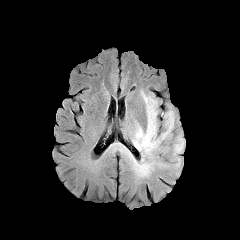
FLAIR MRI.
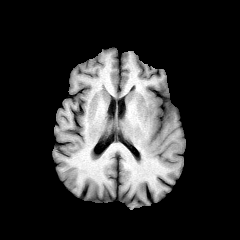
Same slice, T1-weighted MRI.
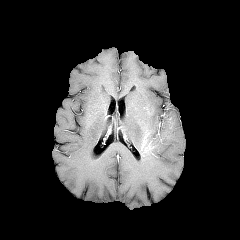
Post-contrast T1-weighted MR.
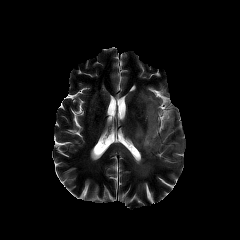
T2-weighted magnetic resonance.
Brain.
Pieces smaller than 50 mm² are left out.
enhancing tumor: {"x1": 142, "y1": 132, "x2": 154, "y2": 150} | peritumoral edema: {"x1": 135, "y1": 163, "x2": 150, "y2": 175}, {"x1": 133, "y1": 93, "x2": 174, "y2": 155}